FLAIR MRI.
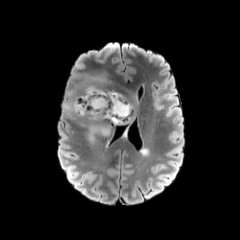
T1-weighted MR image.
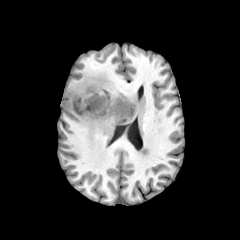
Post-contrast T1-weighted MRI.
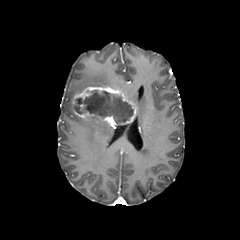
T2-weighted MRI.
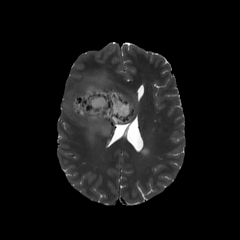
Head
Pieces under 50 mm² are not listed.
enhancing_tumor:
  - left=71, top=86, right=137, bottom=127
peritumoral_edema:
  - left=92, top=74, right=111, bottom=86
  - left=132, top=94, right=138, bottom=105
  - left=89, top=124, right=112, bottom=141
necrotic_tumor_core:
  - left=74, top=91, right=133, bottom=123